Head | Axial slice | 240x240 px
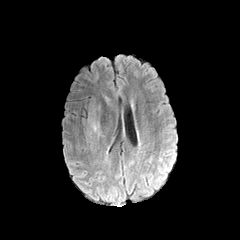
FLAIR magnetic resonance.
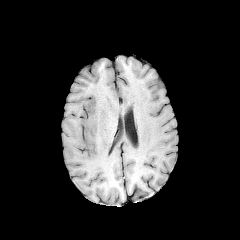
Same slice, T1-weighted MRI.
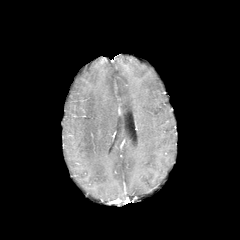
Post-contrast T1-weighted MR image of the same slice.
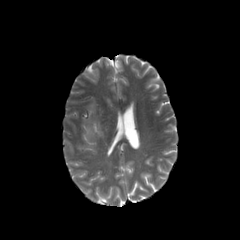
T2-weighted magnetic resonance.
Segmented structures:
* peritumoral edema: <bbox>88, 117, 100, 136</bbox>